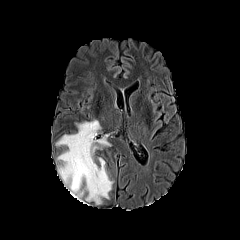
FLAIR magnetic resonance.
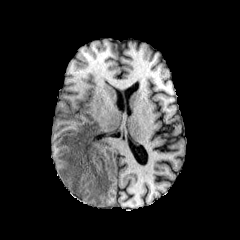
Same slice, T1-weighted MR.
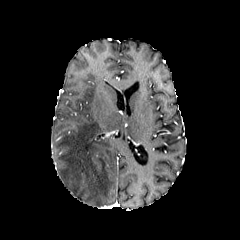
Post-contrast T1-weighted magnetic resonance.
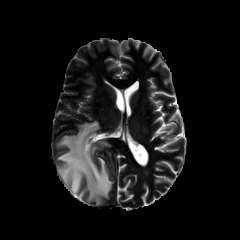
T2-weighted MR image.
Axial slice. Brain.
peritumoral edema: box=[56, 120, 113, 204]